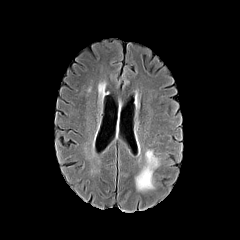
FLAIR MR.
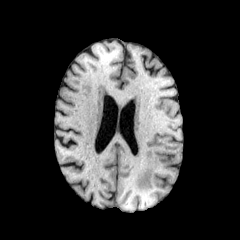
T1-weighted MR.
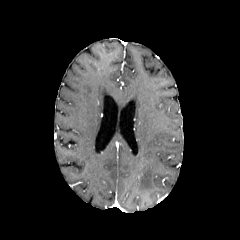
Post-contrast T1-weighted MRI of the same slice.
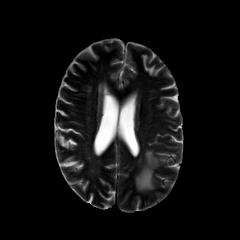
Same slice, T2-weighted MRI.
Axial slice
{
  "peritumoral_edema": [
    "box=[136, 150, 158, 190]"
  ]
}